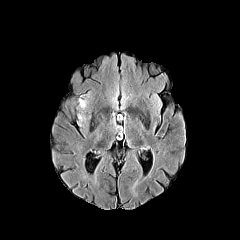
FLAIR magnetic resonance.
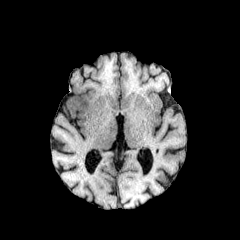
T1-weighted MRI of the same slice.
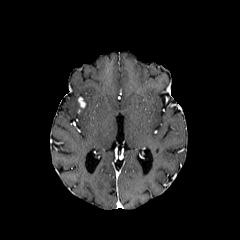
Post-contrast T1-weighted MR image of the same slice.
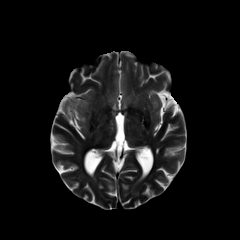
T2-weighted MR image.
Brain
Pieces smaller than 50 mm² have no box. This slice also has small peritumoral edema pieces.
The enhancing tumor is located at 78:97:85:107.